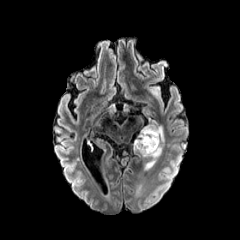
FLAIR MRI.
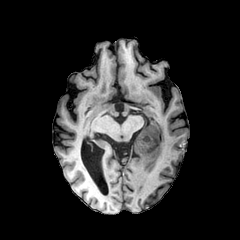
T1-weighted MR image of the same slice.
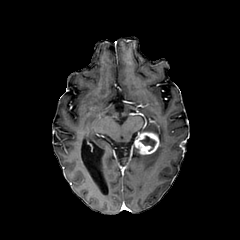
Post-contrast T1-weighted MRI.
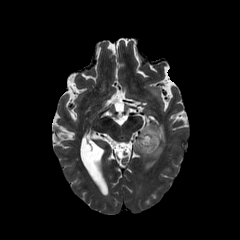
T2-weighted MR image.
Head
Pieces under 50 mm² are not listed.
{"enhancing_tumor": ["l=134, t=131, r=159, b=154"], "peritumoral_edema": ["l=141, t=121, r=164, b=169"], "necrotic_tumor_core": ["l=140, t=136, r=155, b=148"]}